240x240; Image width 240 mm; Head
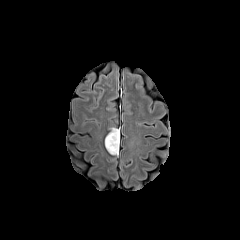
FLAIR MRI.
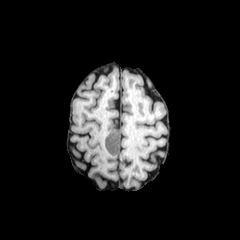
T1-weighted magnetic resonance.
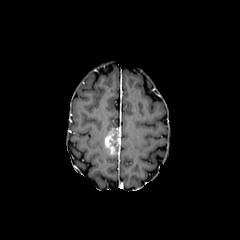
Same slice, post-contrast T1-weighted MR.
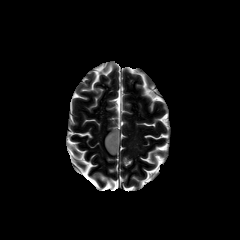
T2-weighted magnetic resonance.
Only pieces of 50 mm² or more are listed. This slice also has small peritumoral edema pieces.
<segmentation>
  <enhancing_tumor>rect(104, 134, 117, 155)</enhancing_tumor>
  <necrotic_tumor_core>rect(108, 130, 119, 151)</necrotic_tumor_core>
</segmentation>